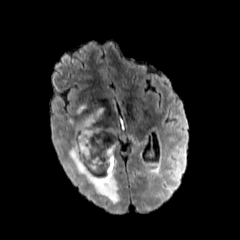
FLAIR magnetic resonance.
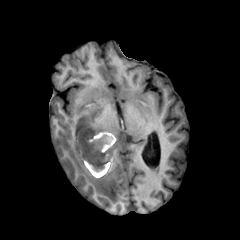
T1-weighted MR.
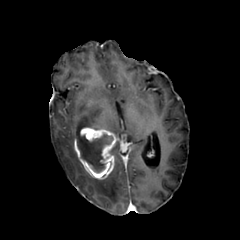
Post-contrast T1-weighted MR image.
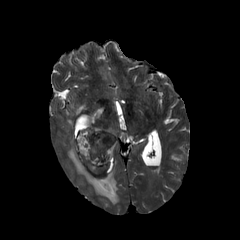
Same slice, T2-weighted MR image.
Image size 240x240
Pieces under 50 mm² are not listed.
necrotic tumor core: bounding box x1=77 y1=134 x2=113 y2=172
peritumoral edema: bounding box x1=77 y1=105 x2=85 y2=113, x1=68 y1=142 x2=119 y2=204, x1=88 y1=108 x2=102 y2=123, x1=68 y1=118 x2=80 y2=129
enhancing tumor: bounding box x1=74 y1=127 x2=116 y2=179